Image size 240x240. Axial view. Slice index 119.
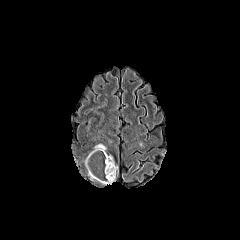
FLAIR MR image.
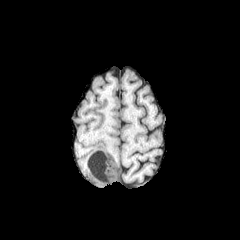
Same slice, T1-weighted MR image.
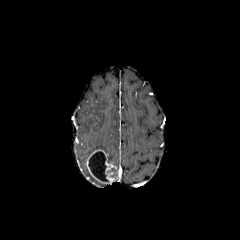
Same slice, post-contrast T1-weighted magnetic resonance.
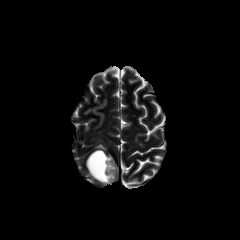
T2-weighted magnetic resonance.
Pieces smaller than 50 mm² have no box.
peritumoral edema — box(94, 144, 106, 150)
necrotic tumor core — box(89, 152, 107, 181)
enhancing tumor — box(85, 149, 117, 183)